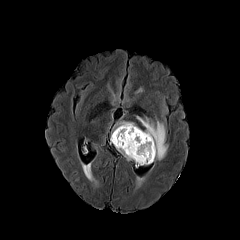
FLAIR magnetic resonance.
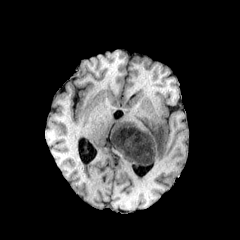
Same slice, T1-weighted MR image.
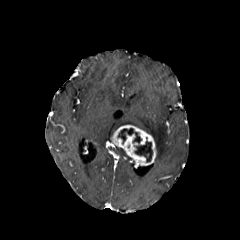
Post-contrast T1-weighted MR image of the same slice.
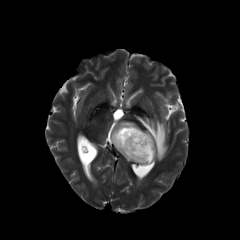
T2-weighted MRI.
Brain; Axial view
<segmentation>
  <necrotic_tumor_core>117, 128, 141, 144; 134, 141, 152, 162</necrotic_tumor_core>
  <peritumoral_edema>111, 121, 137, 136; 136, 116, 168, 160; 116, 147, 131, 160</peritumoral_edema>
  <enhancing_tumor>111, 125, 156, 166</enhancing_tumor>
</segmentation>